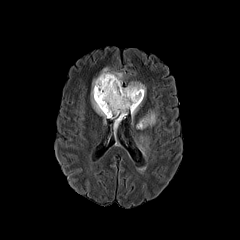
FLAIR magnetic resonance.
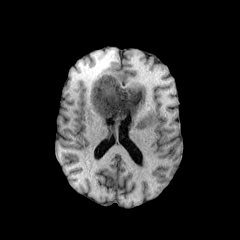
T1-weighted MRI.
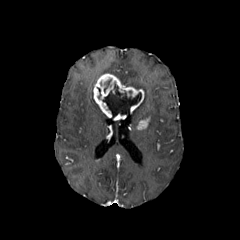
Post-contrast T1-weighted MR of the same slice.
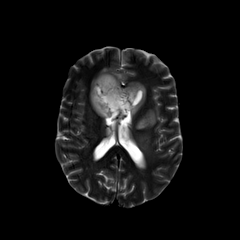
T2-weighted MR.
Axial plane
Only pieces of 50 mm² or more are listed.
{
  "enhancing_tumor": [
    "bbox(114, 114, 126, 120)",
    "bbox(93, 73, 144, 117)",
    "bbox(136, 117, 150, 129)"
  ],
  "necrotic_tumor_core": [
    "bbox(102, 83, 141, 118)"
  ],
  "peritumoral_edema": [
    "bbox(127, 81, 145, 94)",
    "bbox(140, 110, 156, 126)",
    "bbox(139, 135, 148, 151)",
    "bbox(91, 67, 123, 123)"
  ]
}